Image width 240 mm, Axial plane
FLAIR MR.
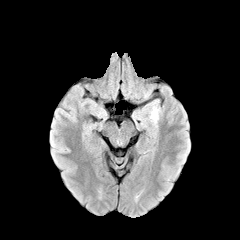
T1-weighted MRI.
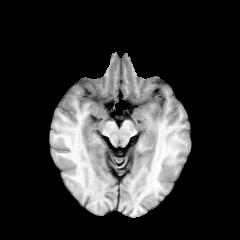
Post-contrast T1-weighted magnetic resonance.
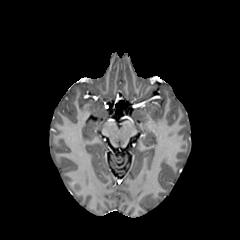
T2-weighted MR image.
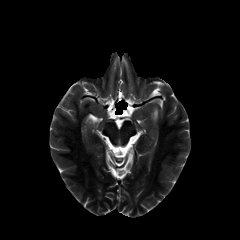
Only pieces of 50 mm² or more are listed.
Segmented structures:
* peritumoral edema: x1=145, y1=103, x2=160, y2=127